FLAIR MR image.
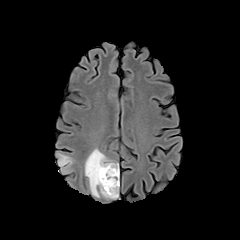
T1-weighted MRI.
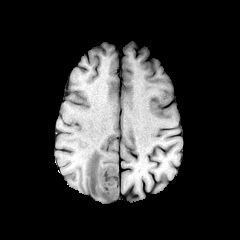
Post-contrast T1-weighted magnetic resonance.
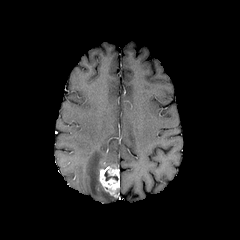
T2-weighted MR.
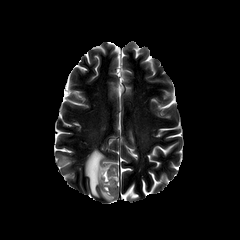
Axial slice, 240x240 px, Head
2 peritumoral edema regions appear at 58 154 72 173, 85 148 117 199. The necrotic tumor core is located at 104 171 117 180. The enhancing tumor is at 99 165 117 197.